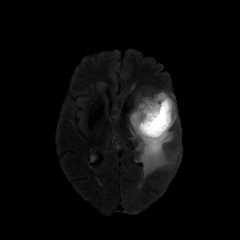
FLAIR MRI.
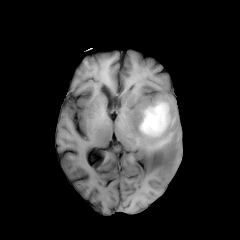
Same slice, T1-weighted MR.
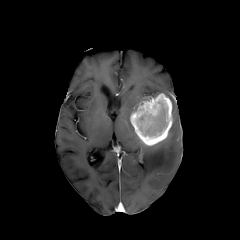
Post-contrast T1-weighted MRI.
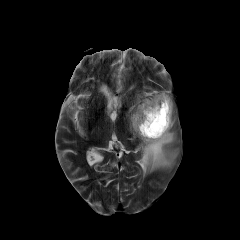
Same slice, T2-weighted MR image.
240x240 px
peritumoral edema: bounding box box=[129, 90, 178, 177]
enhancing tumor: bounding box box=[130, 93, 172, 145]
necrotic tumor core: bounding box box=[146, 105, 165, 134]